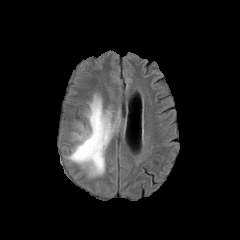
FLAIR MR image.
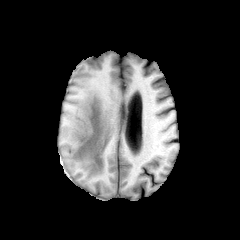
T1-weighted MR image.
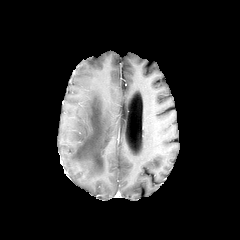
Same slice, post-contrast T1-weighted MR.
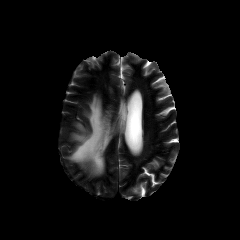
Same slice, T2-weighted magnetic resonance.
Image size 240x240, Brain
peritumoral edema = (left=68, top=95, right=115, bottom=175)